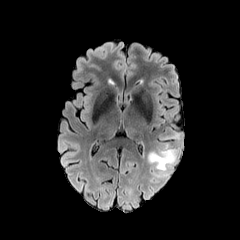
FLAIR MR image.
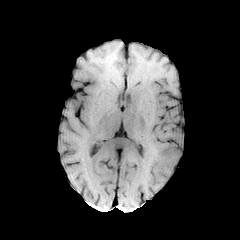
T1-weighted magnetic resonance.
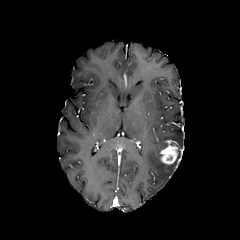
Post-contrast T1-weighted MRI of the same slice.
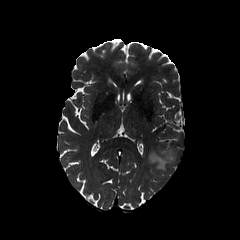
T2-weighted MR image of the same slice.
Head. 240x240 px. Axial plane.
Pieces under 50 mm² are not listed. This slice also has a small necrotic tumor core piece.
The enhancing tumor lies within <box>160,144,178,164</box>. The largest peritumoral edema region appears at <box>147,142,181,171</box>.